FLAIR magnetic resonance.
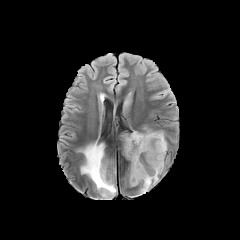
T1-weighted MR.
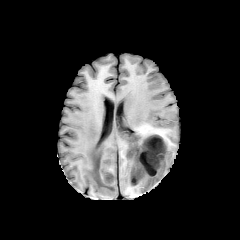
Post-contrast T1-weighted MR image.
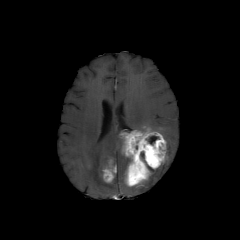
T2-weighted magnetic resonance.
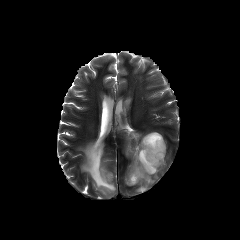
Head
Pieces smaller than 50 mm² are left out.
peritumoral edema: [x1=79, y1=141, x2=116, y2=197], [x1=143, y1=127, x2=164, y2=138], [x1=139, y1=156, x2=168, y2=192] | enhancing tumor: [x1=121, y1=130, x2=166, y2=186], [x1=102, y1=167, x2=115, y2=182] | necrotic tumor core: [x1=148, y1=136, x2=158, y2=144]